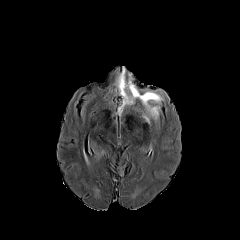
FLAIR MR.
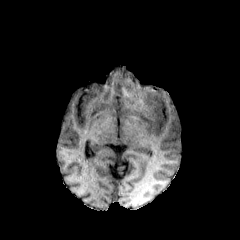
T1-weighted MR of the same slice.
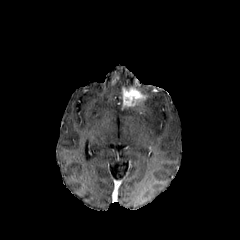
Same slice, post-contrast T1-weighted MR image.
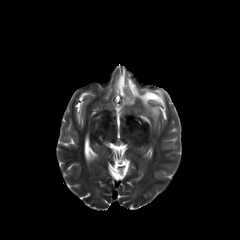
T2-weighted MR.
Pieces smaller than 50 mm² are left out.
The 2 largest peritumoral edema regions appear at (142, 90, 163, 122), (116, 68, 133, 95). The enhancing tumor is at (122, 85, 148, 109).